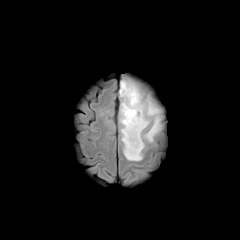
FLAIR MR.
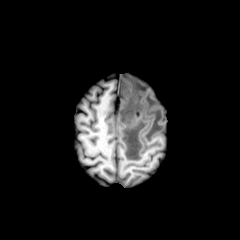
T1-weighted MR.
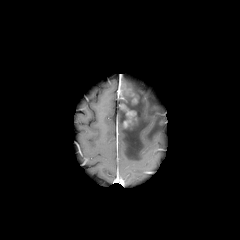
Post-contrast T1-weighted MRI.
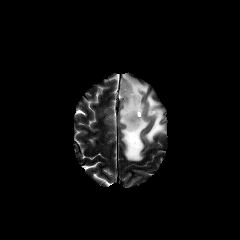
T2-weighted magnetic resonance of the same slice.
Brain. Axial view.
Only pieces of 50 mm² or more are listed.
The 2 largest enhancing tumor regions are bounded by 119,84,130,98; 122,105,135,126. The largest peritumoral edema region lies within 119,80,162,160.